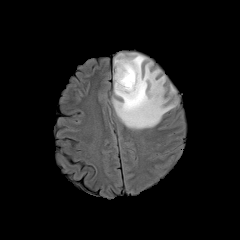
FLAIR MR.
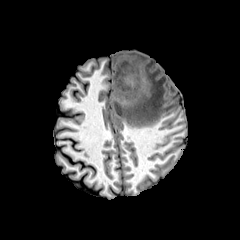
T1-weighted magnetic resonance.
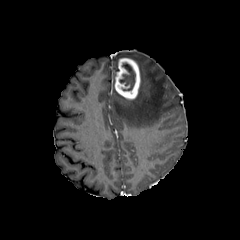
Post-contrast T1-weighted MR image.
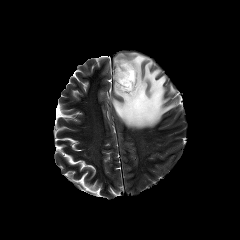
T2-weighted magnetic resonance.
Axial slice
{
  "necrotic_tumor_core": [
    "(119,63,135,90)"
  ],
  "enhancing_tumor": [
    "(114,58,140,99)"
  ],
  "peritumoral_edema": [
    "(112,52,179,129)"
  ]
}